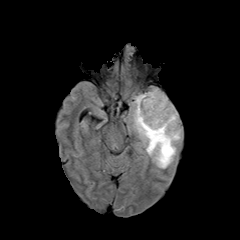
FLAIR MR.
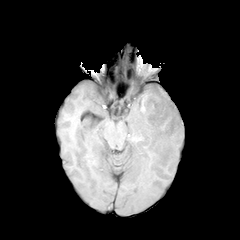
T1-weighted MR image.
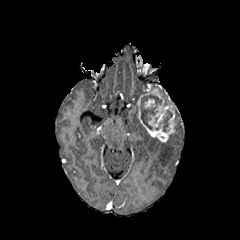
Same slice, post-contrast T1-weighted MR image.
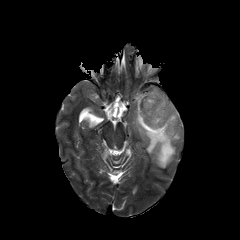
T2-weighted MR.
Head, Axial plane
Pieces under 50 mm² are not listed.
necrotic_tumor_core:
  - bbox=[140, 95, 161, 130]
  - bbox=[159, 110, 172, 131]
peritumoral_edema:
  - bbox=[132, 93, 182, 168]
enhancing_tumor:
  - bbox=[144, 98, 155, 108]
  - bbox=[137, 87, 177, 142]